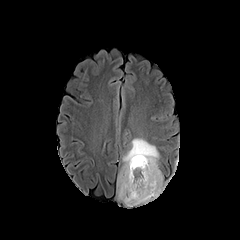
FLAIR MR image.
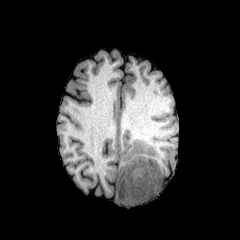
T1-weighted MRI.
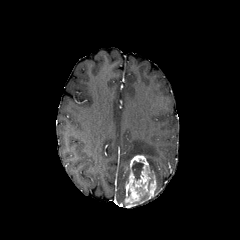
Post-contrast T1-weighted MRI of the same slice.
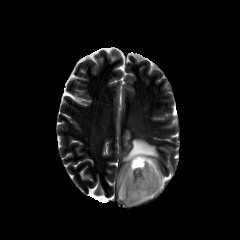
T2-weighted MRI.
Axial view; Brain
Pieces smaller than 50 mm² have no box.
necrotic_tumor_core:
  - left=132, top=161, right=143, bottom=179
peritumoral_edema:
  - left=117, top=138, right=163, bottom=200
enhancing_tumor:
  - left=124, top=155, right=160, bottom=207